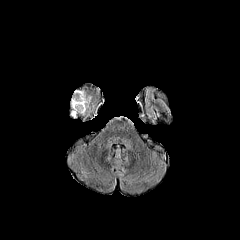
FLAIR MR.
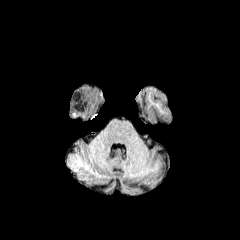
Same slice, T1-weighted magnetic resonance.
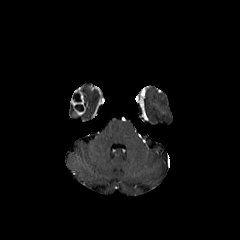
Post-contrast T1-weighted magnetic resonance.
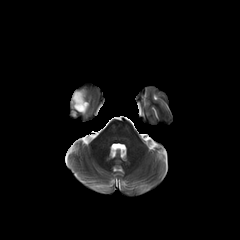
T2-weighted MR image.
240x240. Head.
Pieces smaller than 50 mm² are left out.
enhancing tumor: 71, 89, 87, 115 | peritumoral edema: 82, 90, 90, 111 | necrotic tumor core: 73, 92, 81, 101; 75, 104, 83, 111